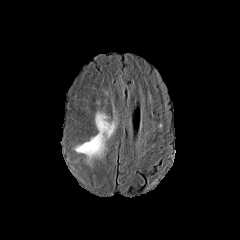
FLAIR MR.
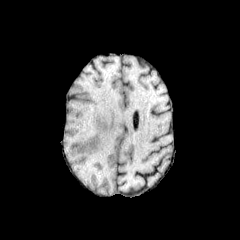
Same slice, T1-weighted magnetic resonance.
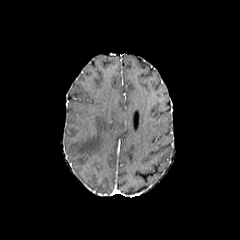
Post-contrast T1-weighted MR image of the same slice.
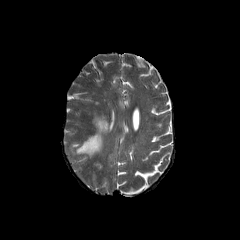
T2-weighted magnetic resonance.
The peritumoral edema is located at (75,115,112,158).